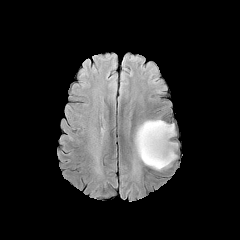
FLAIR MR.
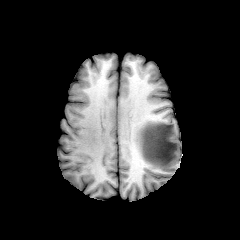
T1-weighted MRI.
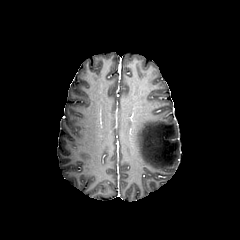
Same slice, post-contrast T1-weighted MR image.
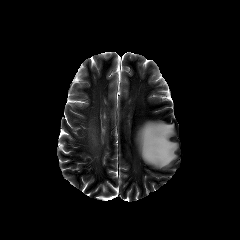
T2-weighted MR of the same slice.
peritumoral edema: region(135, 120, 177, 169)